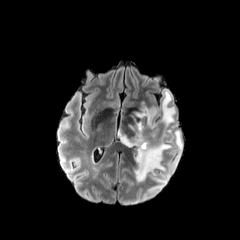
FLAIR MR image.
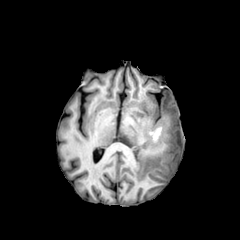
T1-weighted magnetic resonance of the same slice.
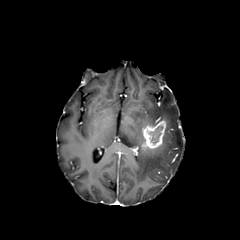
Same slice, post-contrast T1-weighted MR image.
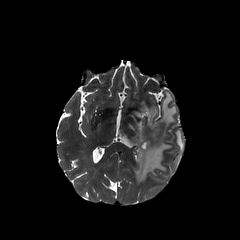
T2-weighted MR.
240x240 px.
enhancing tumor: 141,120,166,149
necrotic tumor core: 149,126,162,143
peritumoral edema: 121,90,182,181; 157,176,168,183; 170,155,179,171